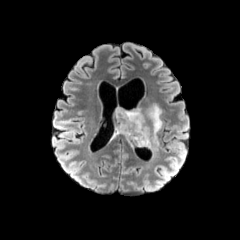
FLAIR magnetic resonance.
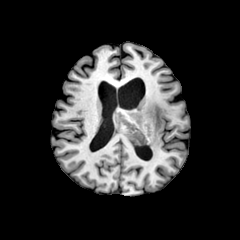
T1-weighted MRI of the same slice.
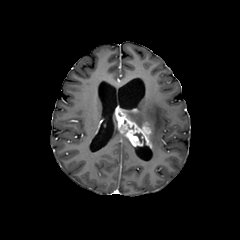
Post-contrast T1-weighted MR image of the same slice.
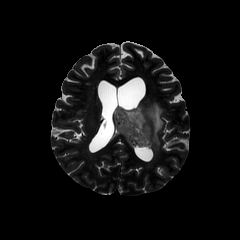
Same slice, T2-weighted MR image.
240x240 px
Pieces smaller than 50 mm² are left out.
Segmented structures:
* enhancing tumor: [114, 108, 151, 148]
* peritumoral edema: [127, 108, 145, 127], [147, 104, 162, 149]
* necrotic tumor core: [134, 133, 145, 143]